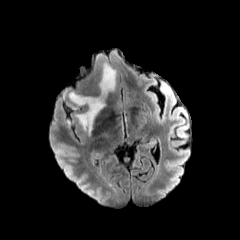
FLAIR MRI.
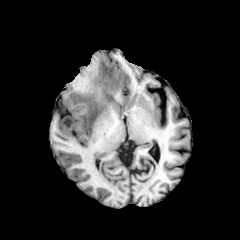
T1-weighted MR image of the same slice.
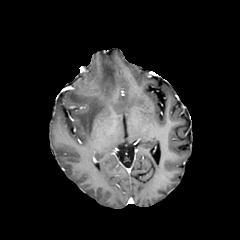
Same slice, post-contrast T1-weighted MR.
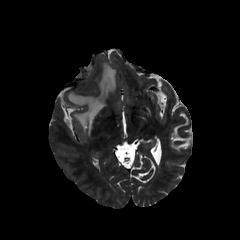
T2-weighted MR image.
Image size 240x240, Axial view
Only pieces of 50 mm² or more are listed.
peritumoral edema — bbox(67, 63, 116, 134)